FLAIR MRI.
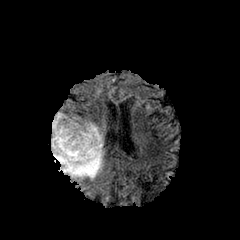
T1-weighted MRI.
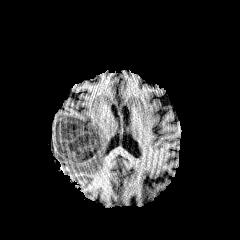
Post-contrast T1-weighted MR.
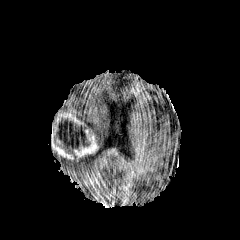
T2-weighted MRI.
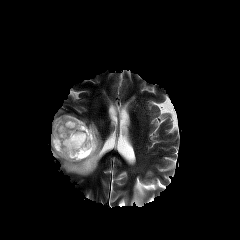
Image size 240x240, Brain
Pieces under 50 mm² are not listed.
<segmentation>
  <enhancing_tumor>l=51, t=113, r=98, b=161</enhancing_tumor>
  <necrotic_tumor_core>l=54, t=121, r=90, b=158</necrotic_tumor_core>
  <peritumoral_edema>l=52, t=120, r=105, b=179</peritumoral_edema>
</segmentation>